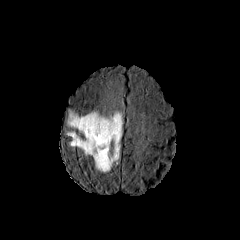
FLAIR MR.
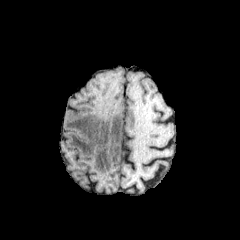
T1-weighted MR of the same slice.
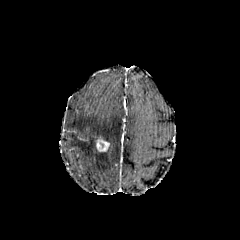
Same slice, post-contrast T1-weighted magnetic resonance.
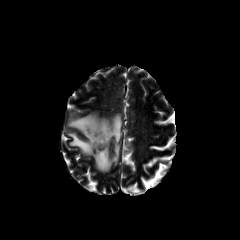
T2-weighted MR image.
240x240
enhancing tumor: [96,136,109,151] | peritumoral edema: [67,108,123,172]